FLAIR MR image.
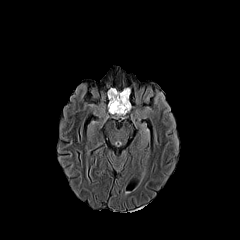
T1-weighted magnetic resonance.
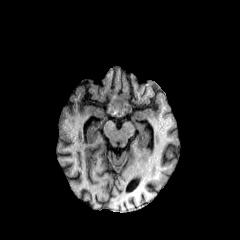
Post-contrast T1-weighted MRI.
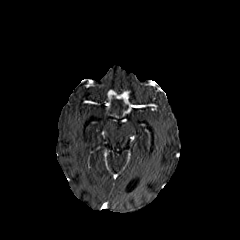
T2-weighted MR.
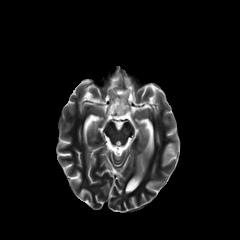
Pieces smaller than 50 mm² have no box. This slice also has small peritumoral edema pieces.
The enhancing tumor is at l=108, t=91, r=130, b=116. The necrotic tumor core is at l=109, t=96, r=128, b=116.